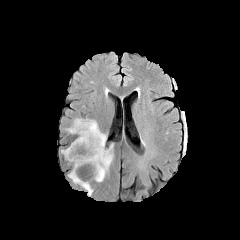
FLAIR MR image.
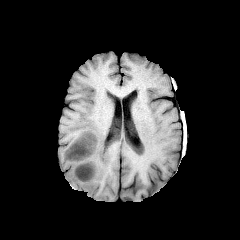
T1-weighted MR image of the same slice.
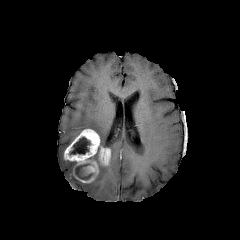
Post-contrast T1-weighted magnetic resonance.
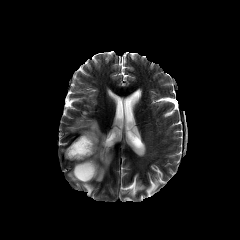
T2-weighted magnetic resonance.
240x240 px. Head.
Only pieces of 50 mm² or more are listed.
<segmentation>
  <necrotic_tumor_core>69, 137, 90, 155</necrotic_tumor_core>
  <peritumoral_edema>92, 143, 113, 181; 67, 118, 106, 147; 68, 168, 93, 195</peritumoral_edema>
  <enhancing_tumor>99, 147, 110, 165; 64, 129, 100, 182</enhancing_tumor>
</segmentation>